FLAIR MR image.
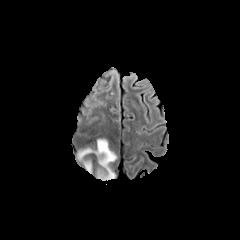
T1-weighted magnetic resonance.
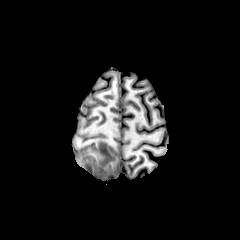
Post-contrast T1-weighted MRI.
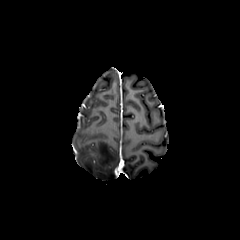
T2-weighted magnetic resonance.
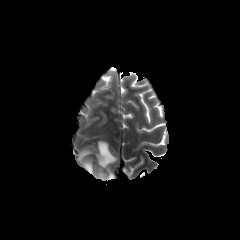
peritumoral_edema:
  - (78, 139, 115, 179)